FLAIR MR image.
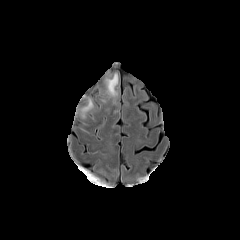
T1-weighted MR.
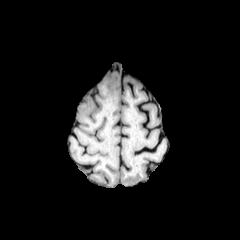
Post-contrast T1-weighted MR.
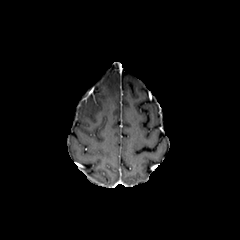
T2-weighted MRI.
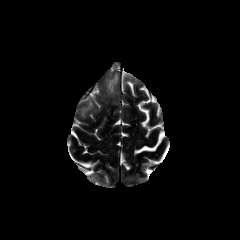
Brain, Axial slice
2 peritumoral edema regions appear at 81, 99, 93, 117; 105, 72, 118, 101.